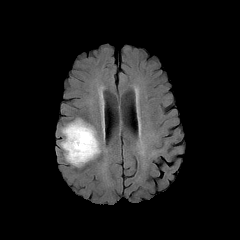
FLAIR magnetic resonance.
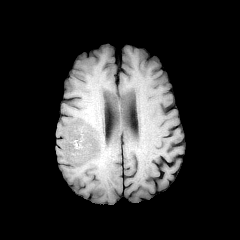
T1-weighted MRI.
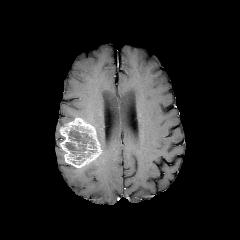
Same slice, post-contrast T1-weighted magnetic resonance.
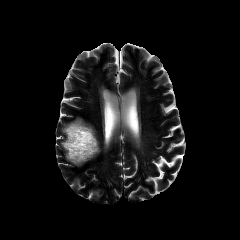
T2-weighted MR.
Axial plane. Brain.
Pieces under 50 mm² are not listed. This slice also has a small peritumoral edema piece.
The enhancing tumor is bounded by rect(60, 117, 101, 168). The largest necrotic tumor core region lies within rect(65, 126, 96, 159).